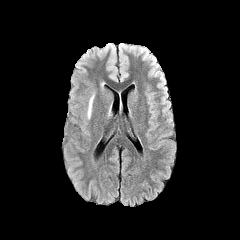
FLAIR magnetic resonance.
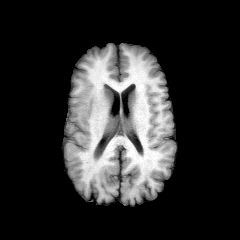
T1-weighted MR image.
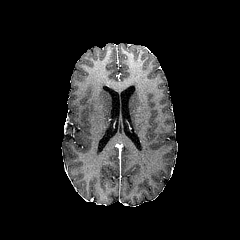
Post-contrast T1-weighted magnetic resonance of the same slice.
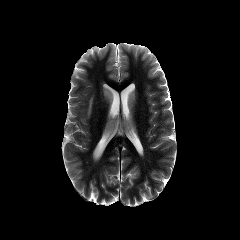
Same slice, T2-weighted MRI.
Axial plane.
peritumoral edema: left=87, top=93, right=94, bottom=118